FLAIR magnetic resonance.
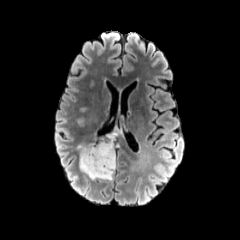
T1-weighted MR.
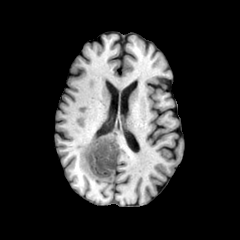
Post-contrast T1-weighted MRI.
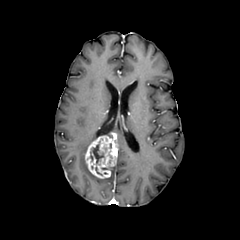
T2-weighted MR.
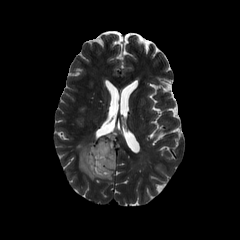
240x240, Brain, Axial view
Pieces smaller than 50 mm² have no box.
necrotic tumor core: {"x1": 90, "y1": 142, "x2": 103, "y2": 163} | peritumoral edema: {"x1": 78, "y1": 145, "x2": 98, "y2": 179}, {"x1": 100, "y1": 164, "x2": 116, "y2": 180} | enhancing tumor: {"x1": 84, "y1": 131, "x2": 117, "y2": 178}